FLAIR MR.
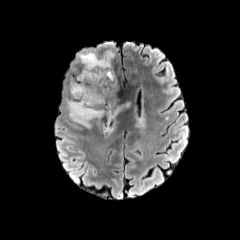
T1-weighted MRI.
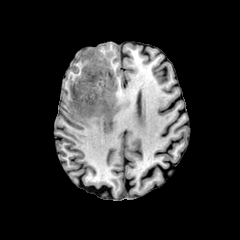
Post-contrast T1-weighted MR image.
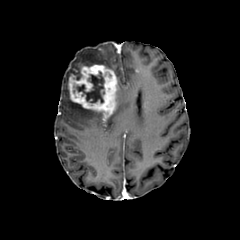
T2-weighted magnetic resonance.
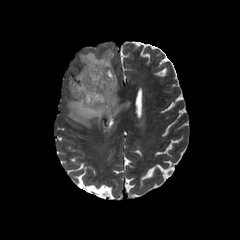
Head
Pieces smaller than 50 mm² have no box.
The enhancing tumor is bounded by x1=68 y1=64 x2=117 y2=119. The largest necrotic tumor core region is bounded by x1=76 y1=72 x2=104 y2=103. The 3 largest peritumoral edema regions are located at x1=103 y1=101 x2=122 y2=132, x1=66 y1=100 x2=102 y2=128, x1=78 y1=49 x2=114 y2=69.